FLAIR MRI.
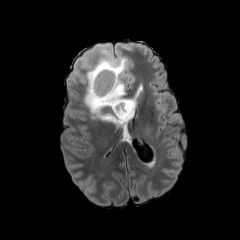
T1-weighted MR image.
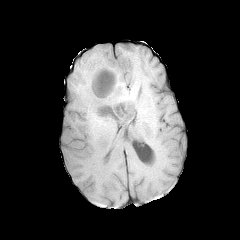
Post-contrast T1-weighted MR.
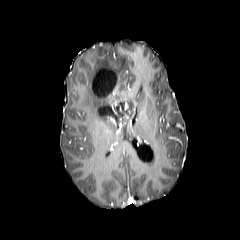
T2-weighted MRI.
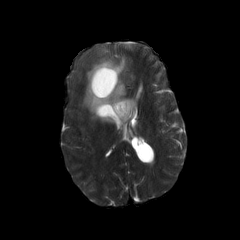
Brain | Axial plane | Image size 240x240
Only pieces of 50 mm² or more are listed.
{
  "necrotic_tumor_core": [
    "(92, 68, 116, 96)",
    "(99, 106, 110, 114)"
  ],
  "enhancing_tumor": [
    "(98, 78, 121, 101)",
    "(111, 101, 130, 119)"
  ],
  "peritumoral_edema": [
    "(82, 45, 135, 125)"
  ]
}